Head
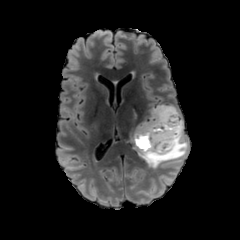
FLAIR MR image.
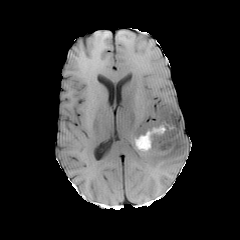
Same slice, T1-weighted magnetic resonance.
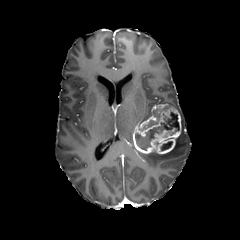
Post-contrast T1-weighted MRI.
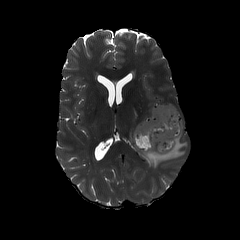
T2-weighted MR.
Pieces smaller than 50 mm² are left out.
peritumoral edema: bbox(138, 130, 188, 168)
enhancing tumor: bbox(132, 104, 182, 154)
necrotic tumor core: bbox(161, 141, 172, 150); bbox(135, 111, 179, 150)